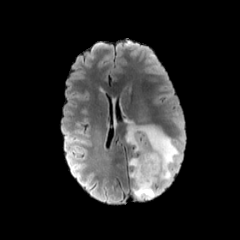
FLAIR MR image.
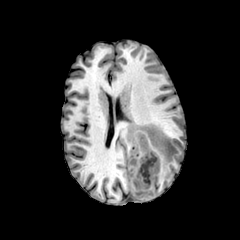
T1-weighted magnetic resonance.
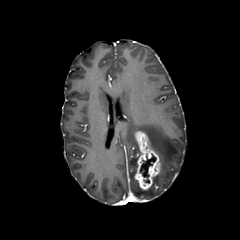
Post-contrast T1-weighted MRI.
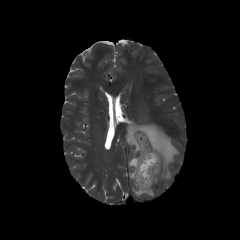
Same slice, T2-weighted magnetic resonance.
Head
peritumoral edema at 129, 157, 138, 178; 132, 179, 158, 198; 126, 123, 179, 183
necrotic tumor core at 140, 154, 156, 183
enhancing tumor at 134, 131, 160, 189